FLAIR MR.
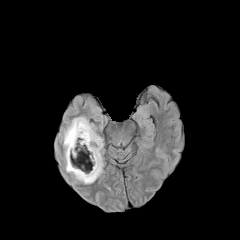
T1-weighted MRI.
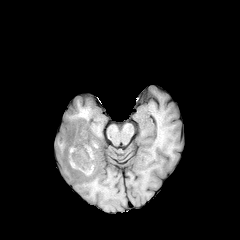
Post-contrast T1-weighted magnetic resonance.
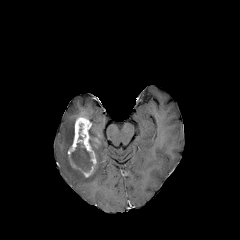
T2-weighted magnetic resonance.
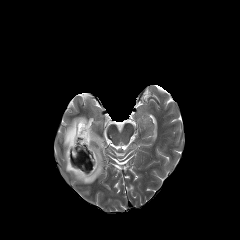
Axial view
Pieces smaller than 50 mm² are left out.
The largest peritumoral edema region is bounded by l=63, t=117, r=104, b=183. The largest necrotic tumor core region is at l=70, t=143, r=92, b=171. The largest enhancing tumor region is located at l=67, t=117, r=99, b=177.